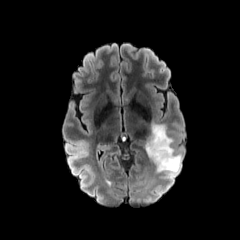
FLAIR MRI.
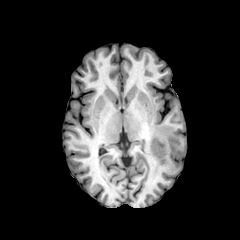
T1-weighted MR image.
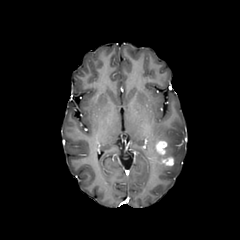
Post-contrast T1-weighted magnetic resonance.
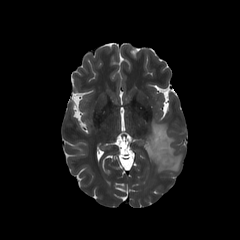
Same slice, T2-weighted MRI.
240x240 px.
peritumoral_edema:
  - left=146, top=122, right=181, bottom=178
enhancing_tumor:
  - left=154, top=140, right=173, bottom=165